FLAIR MRI.
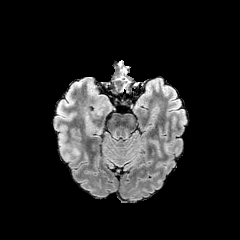
T1-weighted MRI.
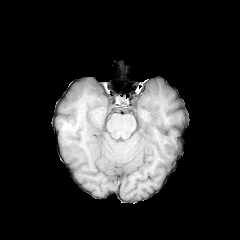
Post-contrast T1-weighted MR.
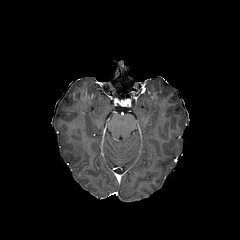
T2-weighted magnetic resonance.
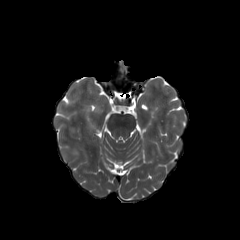
Head
Annotated regions:
• peritumoral edema: x1=60, y1=145, x2=69, y2=153; x1=72, y1=147, x2=79, y2=154